Brain, Axial plane, Image width 240 mm
FLAIR MR image.
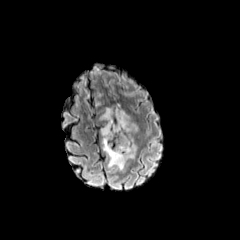
T1-weighted MR.
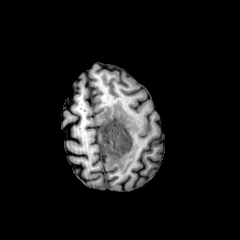
Post-contrast T1-weighted magnetic resonance.
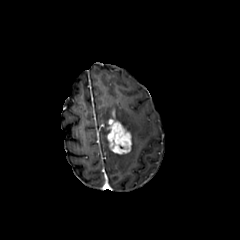
T2-weighted MR.
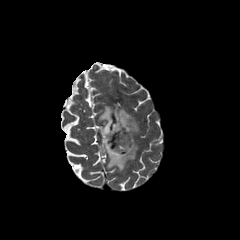
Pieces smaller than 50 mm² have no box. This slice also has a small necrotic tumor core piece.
Segmented structures:
• enhancing tumor: left=105, top=118, right=131, bottom=154
• peritumoral edema: left=99, top=104, right=138, bottom=170